FLAIR MR image.
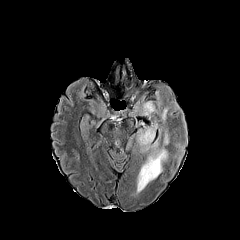
T1-weighted magnetic resonance.
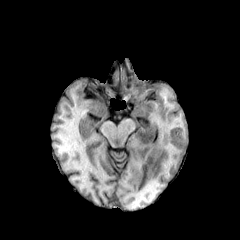
Post-contrast T1-weighted MR.
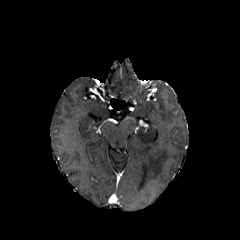
T2-weighted magnetic resonance.
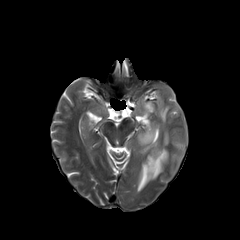
Axial view
peritumoral edema — 137:133:169:192, 136:123:158:151, 161:106:169:124, 143:101:155:114